Axial view. Image size 240x240. Brain.
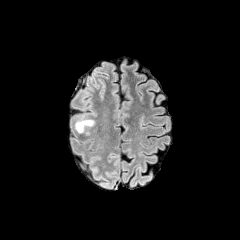
FLAIR MR.
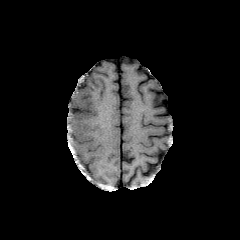
T1-weighted MR.
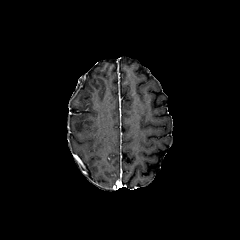
Same slice, post-contrast T1-weighted magnetic resonance.
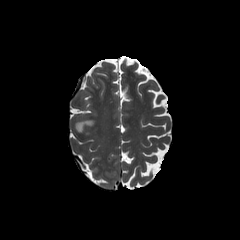
T2-weighted MR image of the same slice.
peritumoral edema: [74, 120, 94, 134]